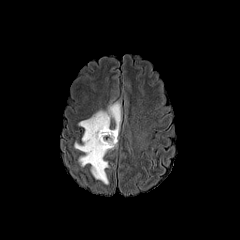
FLAIR magnetic resonance.
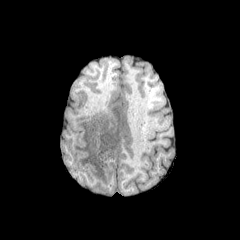
T1-weighted MRI of the same slice.
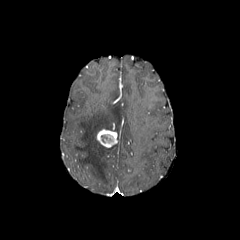
Post-contrast T1-weighted MRI.
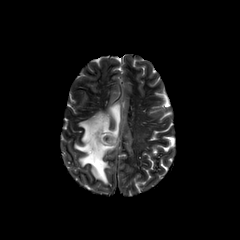
T2-weighted MR image.
Axial slice. 240x240.
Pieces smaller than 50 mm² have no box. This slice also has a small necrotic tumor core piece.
Segmented structures:
• peritumoral edema: [74, 102, 121, 184]
• enhancing tumor: [96, 129, 117, 147]